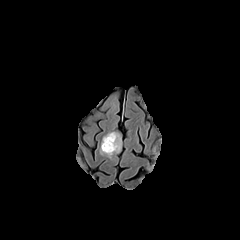
FLAIR MR.
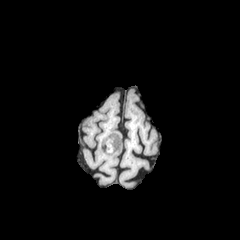
Same slice, T1-weighted MRI.
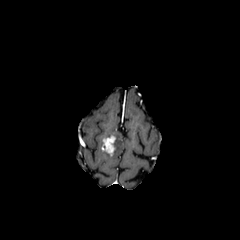
Post-contrast T1-weighted MRI.
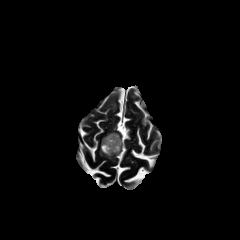
Same slice, T2-weighted MR.
Brain
peritumoral edema = <box>99,147,112,158</box>, <box>101,132,122,154</box>
enhancing tumor = <box>101,135,115,155</box>